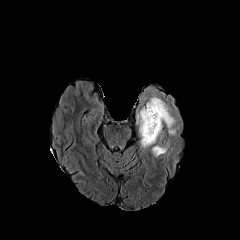
FLAIR MRI.
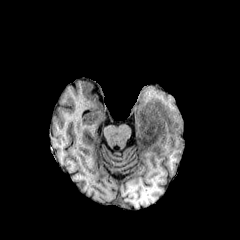
Same slice, T1-weighted MR.
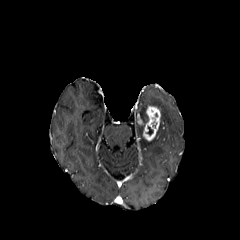
Post-contrast T1-weighted MR.
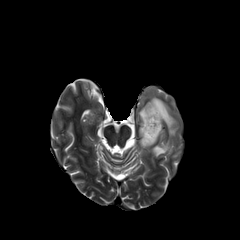
Same slice, T2-weighted MR image.
Brain, Image size 240x240
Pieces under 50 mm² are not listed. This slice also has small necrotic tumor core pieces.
Segmented structures:
• peritumoral edema: box=[138, 88, 178, 156]; box=[139, 125, 156, 147]
• enhancing tumor: box=[138, 106, 160, 141]